240x240. Brain. Slice index 71. Axial slice.
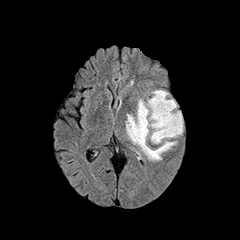
FLAIR MR image.
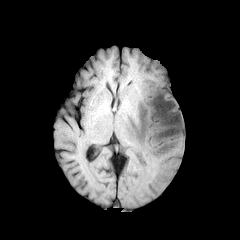
T1-weighted MR.
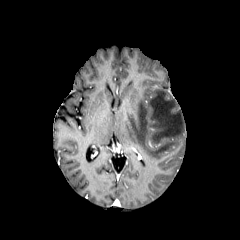
Post-contrast T1-weighted MR.
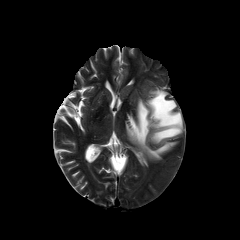
T2-weighted MR image of the same slice.
{"peritumoral_edema": ["126,90,183,160"]}